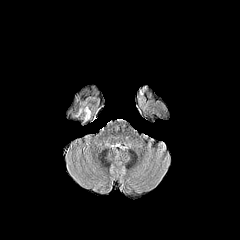
FLAIR MR image.
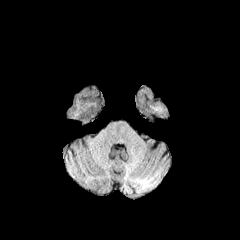
T1-weighted MRI.
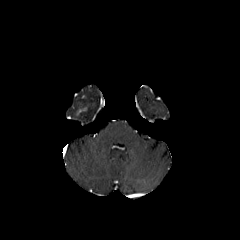
Same slice, post-contrast T1-weighted MR image.
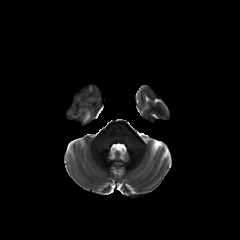
Same slice, T2-weighted MR image.
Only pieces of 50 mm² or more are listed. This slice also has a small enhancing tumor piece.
peritumoral edema — [84, 106, 90, 121]